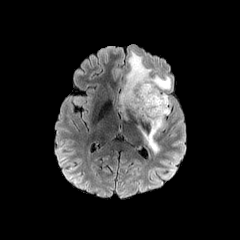
FLAIR MRI.
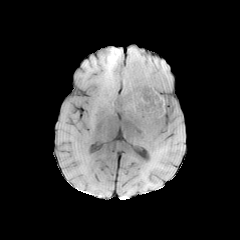
T1-weighted magnetic resonance.
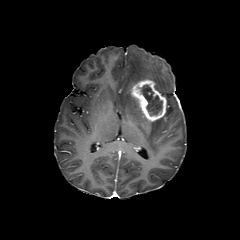
Post-contrast T1-weighted MR image.
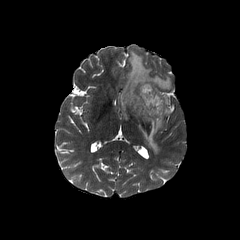
T2-weighted MR image.
Head. 240x240.
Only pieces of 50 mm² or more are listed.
Annotated regions:
• necrotic tumor core: x1=141 y1=85 x2=162 y2=115
• enhancing tumor: x1=130 y1=79 x2=166 y2=121
• peritumoral edema: x1=118 y1=51 x2=170 y2=121, x1=137 y1=116 x2=164 y2=152